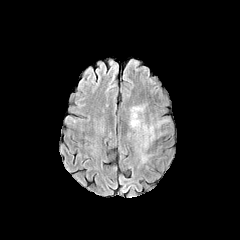
FLAIR magnetic resonance.
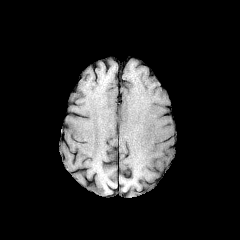
T1-weighted MR image of the same slice.
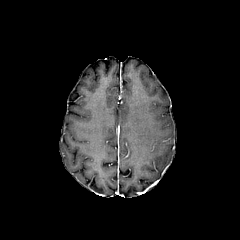
Post-contrast T1-weighted MR of the same slice.
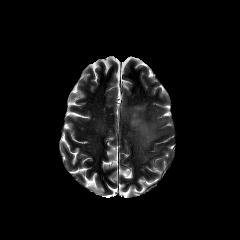
T2-weighted MR image.
240x240 px, Axial plane
peritumoral edema at [130, 105, 163, 147]